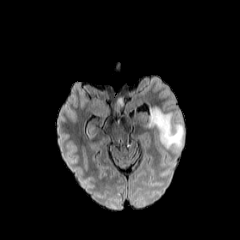
FLAIR MR.
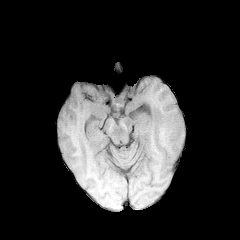
T1-weighted magnetic resonance of the same slice.
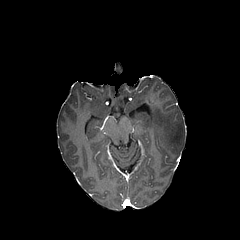
Post-contrast T1-weighted MR image of the same slice.
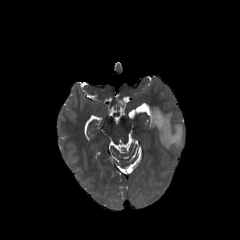
T2-weighted MRI of the same slice.
Head
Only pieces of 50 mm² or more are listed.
peritumoral edema = (left=149, top=107, right=183, bottom=151)